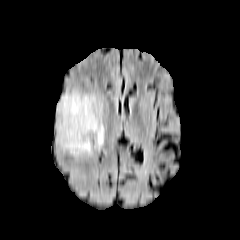
FLAIR MR image.
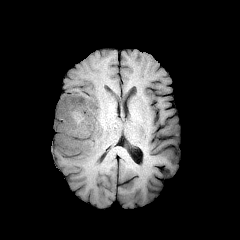
T1-weighted MR image of the same slice.
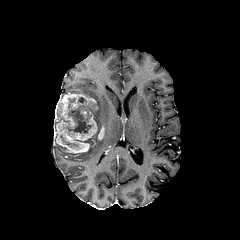
Post-contrast T1-weighted MR image of the same slice.
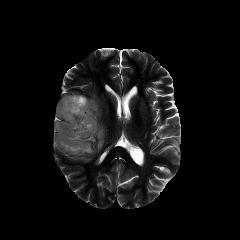
T2-weighted magnetic resonance of the same slice.
240x240 px. Head.
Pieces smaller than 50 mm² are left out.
The 2 largest peritumoral edema regions appear at left=93, top=108, right=104, bottom=150; left=77, top=139, right=92, bottom=154. The largest necrotic tumor core region lies within left=66, top=106, right=94, bottom=133. The 3 largest enhancing tumor regions are located at left=80, top=108, right=87, bottom=118; left=55, top=93, right=97, bottom=153; left=98, top=126, right=104, bottom=139.